Head
FLAIR magnetic resonance.
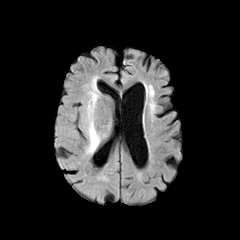
T1-weighted MR.
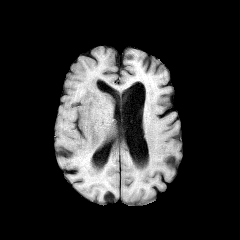
Post-contrast T1-weighted MR image.
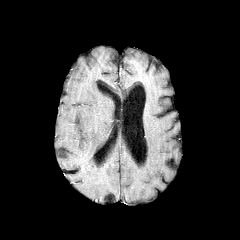
T2-weighted MR image.
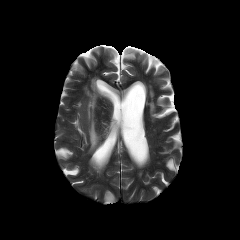
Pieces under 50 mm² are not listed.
peritumoral edema — box=[85, 89, 101, 153]